Axial plane
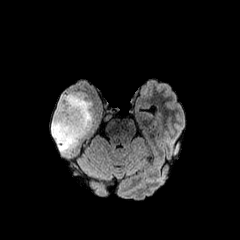
FLAIR MR.
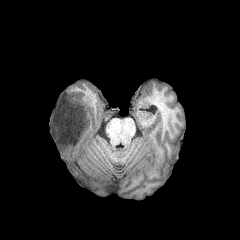
T1-weighted magnetic resonance.
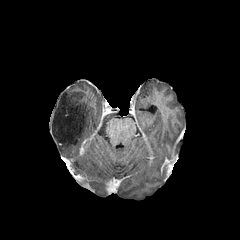
Post-contrast T1-weighted MRI.
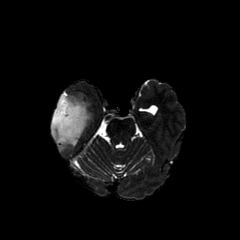
T2-weighted MRI.
{
  "peritumoral_edema": [
    "x1=51 y1=93 x2=92 y2=152"
  ]
}